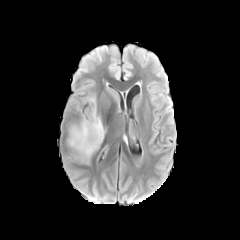
FLAIR MR image.
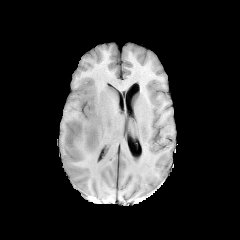
Same slice, T1-weighted MRI.
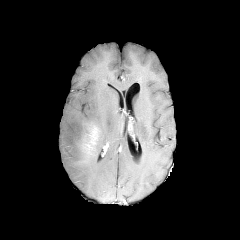
Post-contrast T1-weighted MR image.
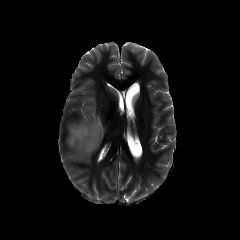
T2-weighted MRI.
Head
peritumoral_edema:
  - left=67, top=97, right=105, bottom=161
enhancing_tumor:
  - left=81, top=123, right=100, bottom=154